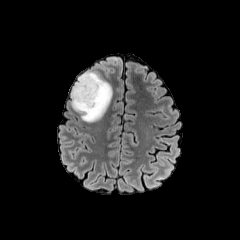
FLAIR MRI.
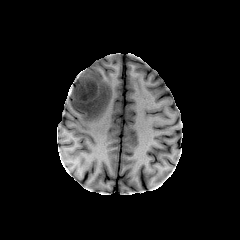
T1-weighted MR image of the same slice.
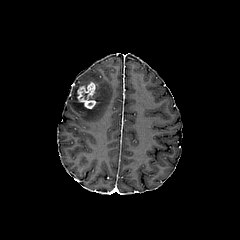
Post-contrast T1-weighted MR image.
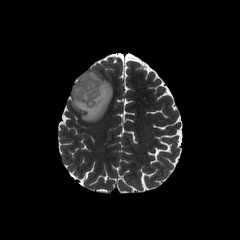
T2-weighted magnetic resonance.
Axial plane. Head.
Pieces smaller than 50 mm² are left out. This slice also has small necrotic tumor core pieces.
Segmented structures:
• enhancing tumor: rect(77, 81, 96, 109)
• peritumoral edema: rect(70, 71, 112, 122)